Brain, Image size 240x240, Slice index 75
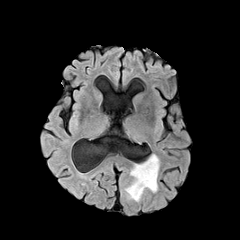
FLAIR MR.
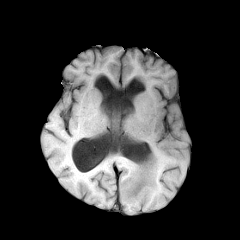
T1-weighted MR image.
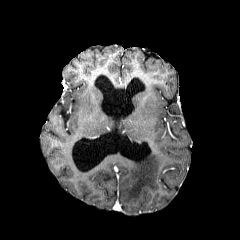
Post-contrast T1-weighted MR.
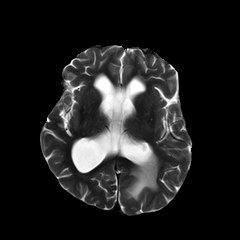
T2-weighted MR.
<segmentation>
  <peritumoral_edema>left=123, top=154, right=159, bottom=201</peritumoral_edema>
</segmentation>